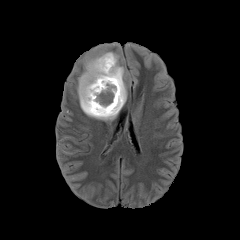
FLAIR MR image.
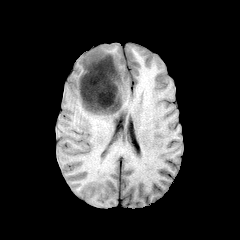
T1-weighted MRI of the same slice.
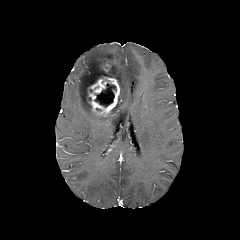
Post-contrast T1-weighted MRI of the same slice.
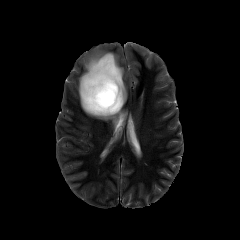
T2-weighted MRI.
Brain, 240x240 px
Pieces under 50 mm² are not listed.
necrotic tumor core — 95,83,116,107
enhancing tumor — 87,76,119,116; 102,61,110,72
peritumoral edema — 77,46,127,120